FLAIR magnetic resonance.
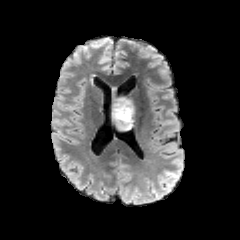
T1-weighted MR.
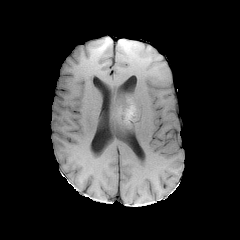
Post-contrast T1-weighted MRI.
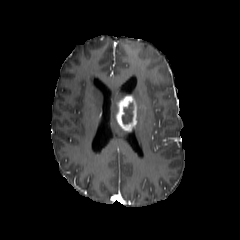
T2-weighted MRI.
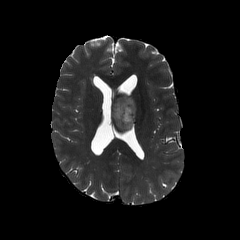
Brain. 240x240 px.
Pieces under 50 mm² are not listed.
necrotic_tumor_core:
  - 122 103 134 123
peritumoral_edema:
  - 113 99 119 122
enhancing_tumor:
  - 116 96 137 131